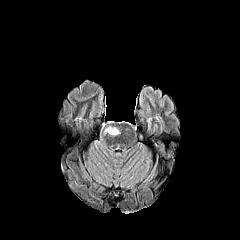
FLAIR MRI.
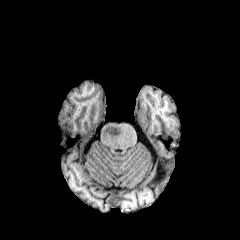
Same slice, T1-weighted magnetic resonance.
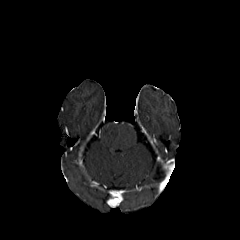
Post-contrast T1-weighted MR.
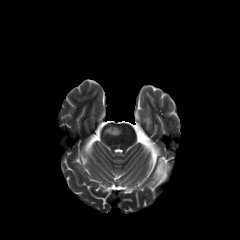
T2-weighted magnetic resonance.
Axial slice. Brain.
Findings:
* peritumoral edema: (104,126,120,135)